Axial slice, Image size 240x240, Slice 57/155, Brain
FLAIR magnetic resonance.
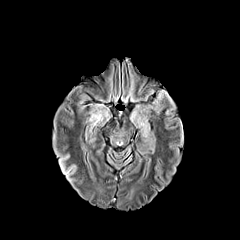
T1-weighted MR image.
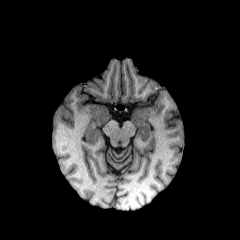
Post-contrast T1-weighted MR.
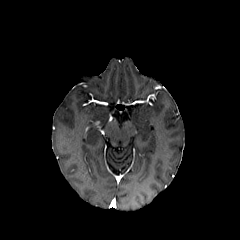
T2-weighted MR.
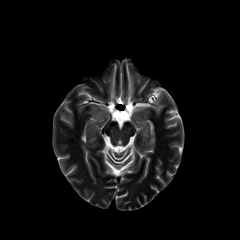
peritumoral edema: rect(90, 112, 102, 121)